FLAIR MRI.
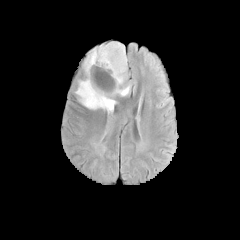
T1-weighted MR.
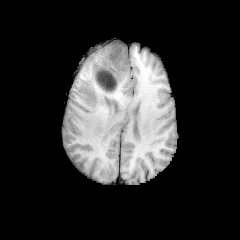
Post-contrast T1-weighted MR image.
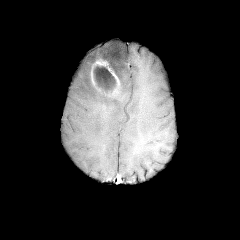
T2-weighted MRI.
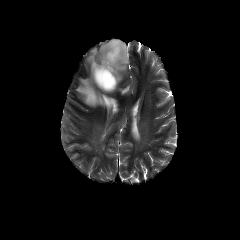
Axial slice. 240x240.
• enhancing tumor: 91 59 120 96
• necrotic tumor core: 93 65 115 91
• peritumoral edema: 117 85 130 96, 76 41 127 113